FLAIR MR image.
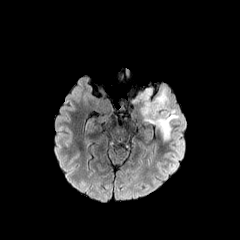
T1-weighted MRI.
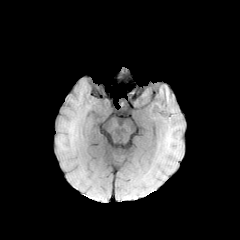
Post-contrast T1-weighted MR.
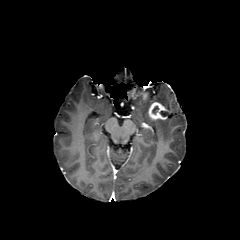
T2-weighted MR image.
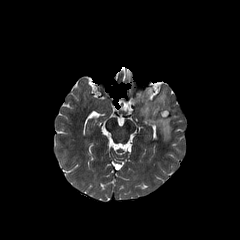
Brain
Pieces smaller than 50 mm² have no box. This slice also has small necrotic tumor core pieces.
The largest enhancing tumor region is at 148:102:168:119. The peritumoral edema lies within 133:87:178:141.